FLAIR MR.
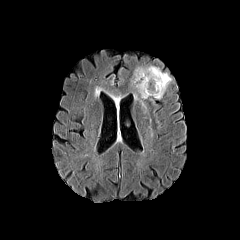
T1-weighted MR image.
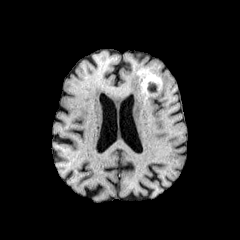
Post-contrast T1-weighted MRI.
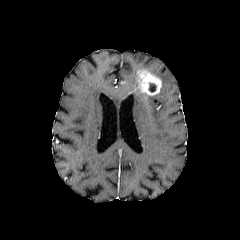
T2-weighted MRI.
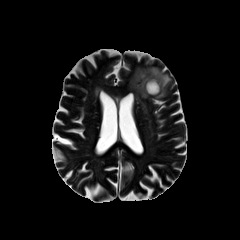
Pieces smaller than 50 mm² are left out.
peritumoral edema: l=132, t=66, r=171, b=98; l=137, t=89, r=149, b=98 | necrotic tumor core: l=149, t=83, r=156, b=91 | enhancing tumor: l=135, t=69, r=161, b=95